Brain. Slice 123/155.
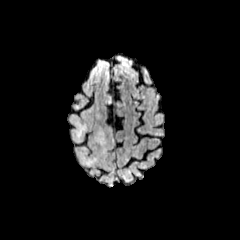
FLAIR MR image.
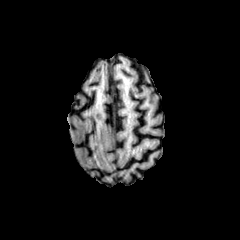
T1-weighted magnetic resonance.
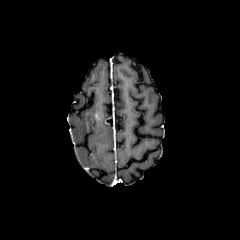
Post-contrast T1-weighted magnetic resonance of the same slice.
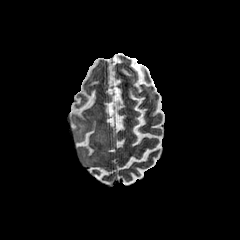
T2-weighted MR image.
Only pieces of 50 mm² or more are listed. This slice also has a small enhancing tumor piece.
peritumoral edema at 79,152,98,165; 95,130,106,144; 71,117,87,141